Axial slice; Slice 125/155
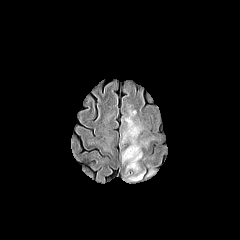
FLAIR magnetic resonance.
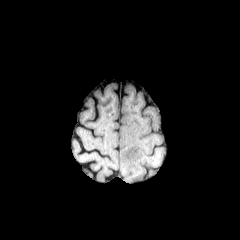
T1-weighted MR image.
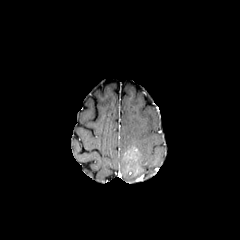
Same slice, post-contrast T1-weighted magnetic resonance.
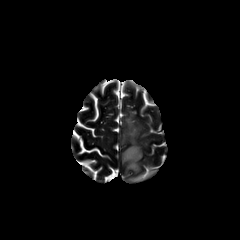
T2-weighted MR.
2 peritumoral edema regions are bounded by x1=121, y1=107, x2=150, y2=163; x1=147, y1=164, x2=155, y2=177. The enhancing tumor is located at x1=122, y1=146, x2=143, y2=177.